240x240; Axial plane; Head
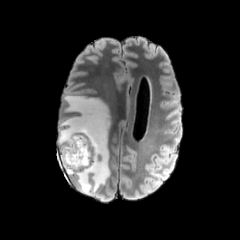
FLAIR MR.
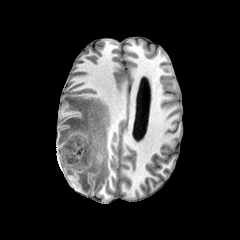
Same slice, T1-weighted magnetic resonance.
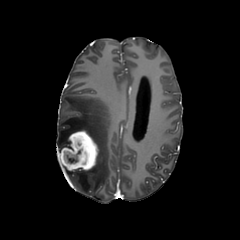
Post-contrast T1-weighted MR of the same slice.
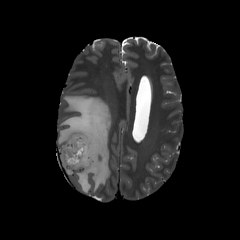
T2-weighted MR.
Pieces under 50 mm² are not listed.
necrotic tumor core at (66, 155, 77, 162)
peritumoral edema at (57, 95, 110, 194)
enhancing tumor at (60, 129, 98, 171)